FLAIR MR.
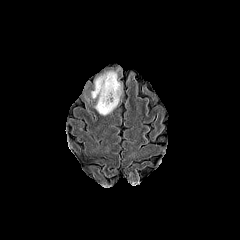
T1-weighted MR.
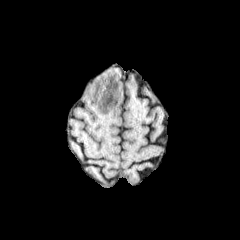
Post-contrast T1-weighted magnetic resonance.
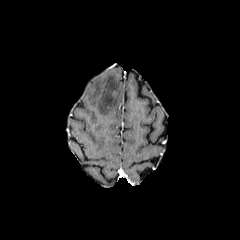
T2-weighted magnetic resonance.
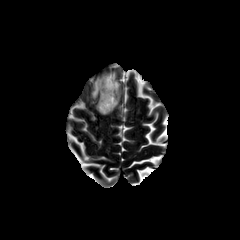
Axial plane.
Segmented structures:
* peritumoral edema: (91,71,121,115)